Head; Image width 240 mm, 1.00 mm slice spacing
FLAIR magnetic resonance.
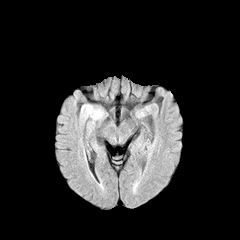
T1-weighted magnetic resonance.
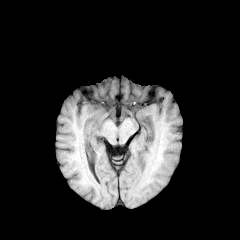
Post-contrast T1-weighted MR.
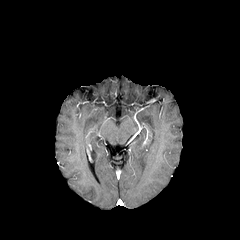
T2-weighted magnetic resonance.
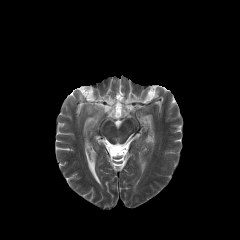
Annotated regions:
* peritumoral edema: [x1=94, y1=110, x2=102, y2=119], [x1=81, y1=105, x2=91, y2=121]